FLAIR MR image.
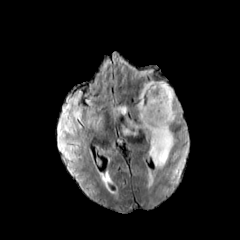
T1-weighted MR.
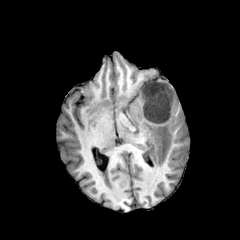
Post-contrast T1-weighted MRI.
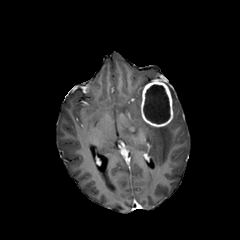
T2-weighted MR.
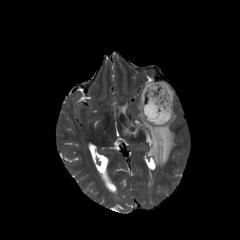
Axial view, Brain
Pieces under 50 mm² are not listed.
enhancing tumor: [141,80,173,127]
peritumoral edema: [119,106,126,114], [130,92,176,166], [123,128,136,134]
necrotic tumor core: [143,85,170,123]